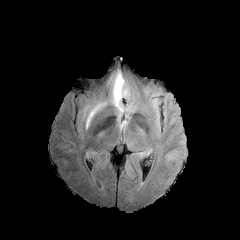
FLAIR MR image.
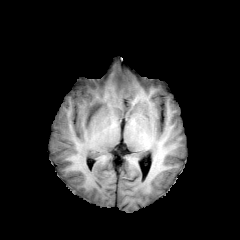
T1-weighted magnetic resonance.
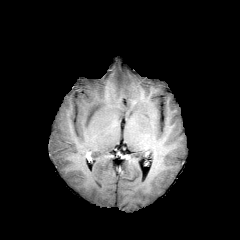
Same slice, post-contrast T1-weighted MR.
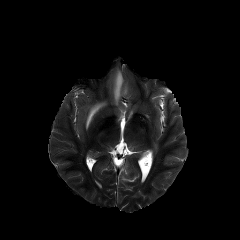
T2-weighted MRI.
Head
peritumoral edema — bbox=[85, 102, 106, 127]; bbox=[111, 70, 129, 113]